Axial slice | Slice 93 of 155 | Brain | 240x240 px
FLAIR MR image.
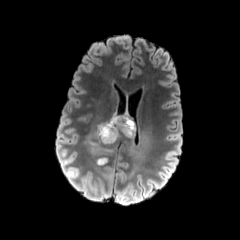
T1-weighted MRI.
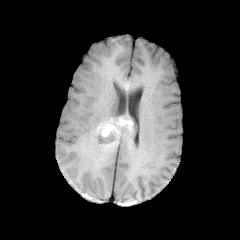
Post-contrast T1-weighted magnetic resonance.
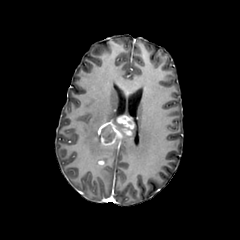
T2-weighted MR image.
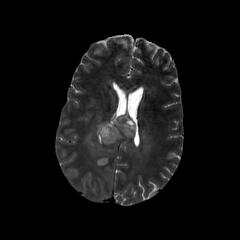
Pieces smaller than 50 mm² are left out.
* peritumoral edema: x1=110, y1=114, x2=125, y2=134; x1=84, y1=123, x2=114, y2=166; x1=122, y1=124, x2=151, y2=169
* necrotic tumor core: x1=100, y1=124, x2=115, y2=142
* enhancing tumor: x1=97, y1=115, x2=134, y2=145